FLAIR MR image.
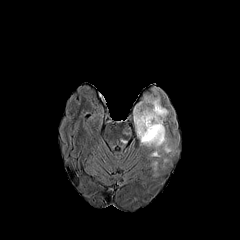
T1-weighted MR image.
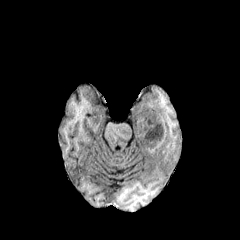
Post-contrast T1-weighted MRI.
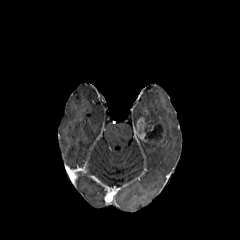
T2-weighted MR.
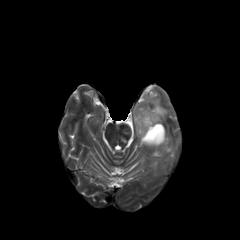
Head
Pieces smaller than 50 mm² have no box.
The largest enhancing tumor region appears at 136:117:146:141. The 4 largest peritumoral edema regions appear at 140:130:173:157, 151:160:157:175, 123:123:131:135, 133:95:168:134. The largest necrotic tumor core region is bounded by 144:121:164:143.